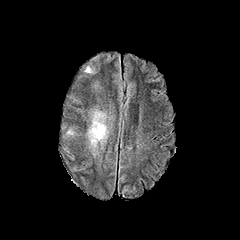
FLAIR MR.
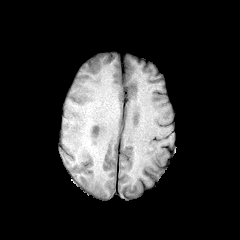
T1-weighted MR image.
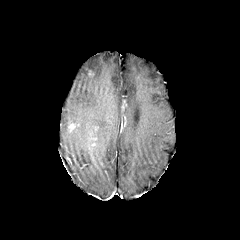
Post-contrast T1-weighted magnetic resonance.
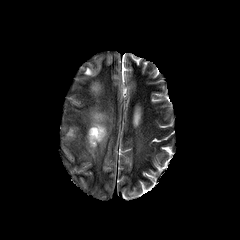
T2-weighted MR image.
Image size 240x240, Head, Axial plane
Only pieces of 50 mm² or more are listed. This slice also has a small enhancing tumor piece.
The largest peritumoral edema region is at x1=89, y1=113, x2=106, y2=145.